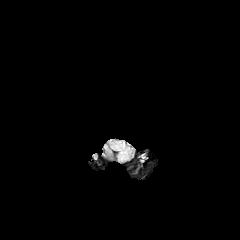
FLAIR MRI.
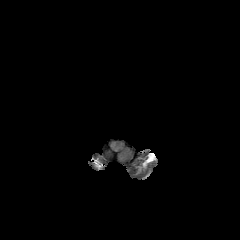
Same slice, T1-weighted magnetic resonance.
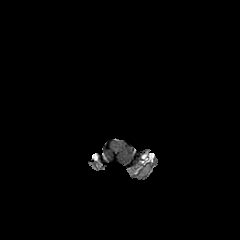
Post-contrast T1-weighted MR image.
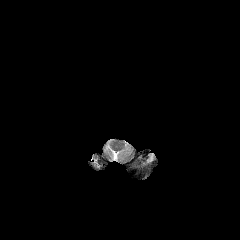
T2-weighted magnetic resonance.
Axial view
peritumoral edema at (x1=119, y1=145, x2=128, y2=159)